Slice index 64
FLAIR MR.
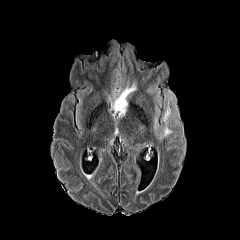
T1-weighted MRI.
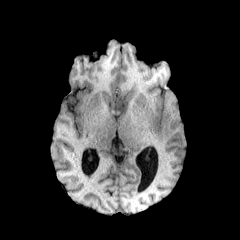
Post-contrast T1-weighted MRI.
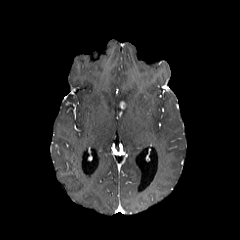
T2-weighted MRI.
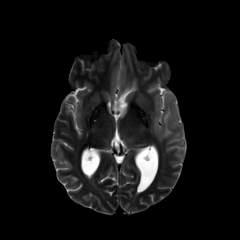
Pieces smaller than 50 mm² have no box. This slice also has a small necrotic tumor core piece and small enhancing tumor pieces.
{
  "peritumoral_edema": [
    {"x1": 111, "y1": 83, "x2": 136, "y2": 111},
    {"x1": 154, "y1": 116, "x2": 158, "y2": 134},
    {"x1": 160, "y1": 106, "x2": 179, "y2": 138}
  ]
}